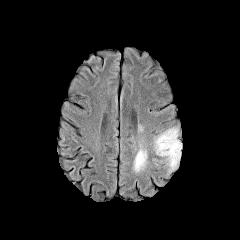
FLAIR MRI.
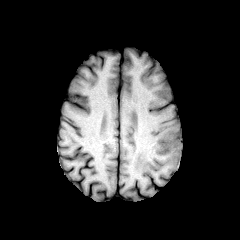
T1-weighted MR of the same slice.
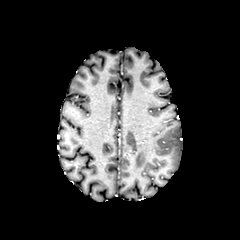
Same slice, post-contrast T1-weighted MRI.
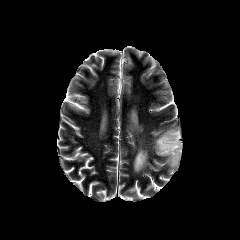
T2-weighted MR of the same slice.
Brain.
peritumoral edema: 132,148,147,174; 137,124,144,132; 152,121,182,176